Axial plane
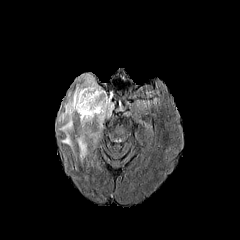
FLAIR MRI.
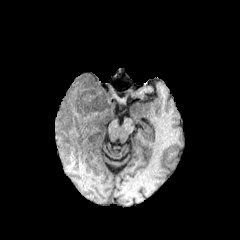
Same slice, T1-weighted MR image.
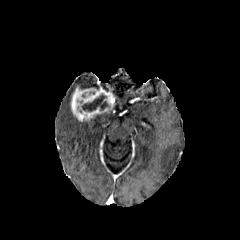
Post-contrast T1-weighted MR of the same slice.
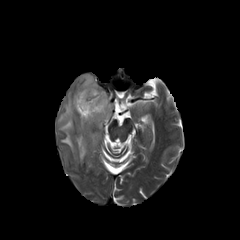
T2-weighted MRI.
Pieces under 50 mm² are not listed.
The 3 largest peritumoral edema regions are located at 58,92,75,150; 77,73,99,88; 76,109,112,161. The largest necrotic tumor core region is located at 81,94,108,111. The enhancing tumor appears at 70,86,114,121.